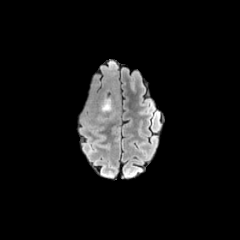
FLAIR MRI.
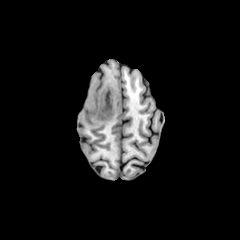
Same slice, T1-weighted MRI.
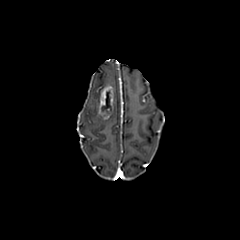
Post-contrast T1-weighted MRI.
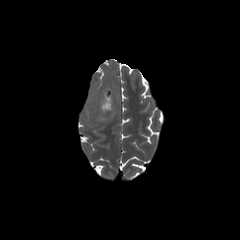
T2-weighted MR image.
Head; Axial view
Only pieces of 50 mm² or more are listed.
- enhancing tumor: 97 85 113 119
- necrotic tumor core: 101 91 111 112